Image width 240 mm, 1.00 mm slice spacing. Brain. Slice index 43. Axial view.
FLAIR MRI.
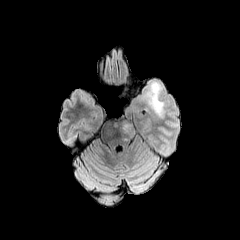
T1-weighted MR.
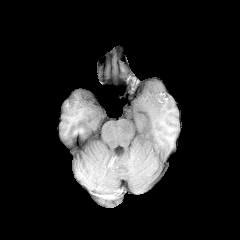
Post-contrast T1-weighted magnetic resonance.
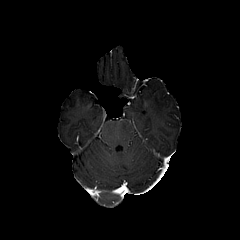
T2-weighted MRI.
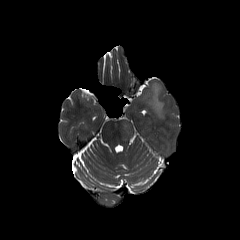
2 peritumoral edema regions appear at <bbox>114, 120, 134, 135</bbox>, <bbox>147, 82, 164, 117</bbox>.